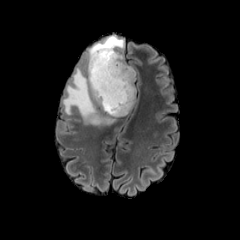
FLAIR MRI.
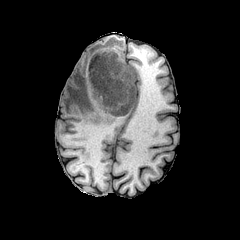
T1-weighted MRI.
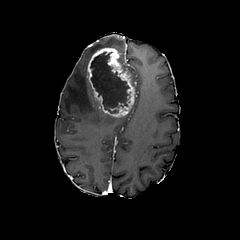
Post-contrast T1-weighted MR image.
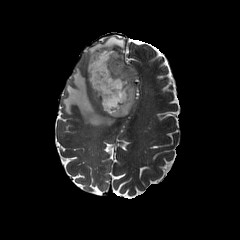
T2-weighted magnetic resonance.
Axial slice
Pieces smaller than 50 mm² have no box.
{"peritumoral_edema": [{"x1": 119, "y1": 52, "x2": 135, "y2": 86}, {"x1": 62, "y1": 35, "x2": 124, "y2": 126}], "enhancing_tumor": [{"x1": 87, "y1": 47, "x2": 135, "y2": 116}], "necrotic_tumor_core": [{"x1": 90, "y1": 51, "x2": 129, "y2": 114}]}